FLAIR magnetic resonance.
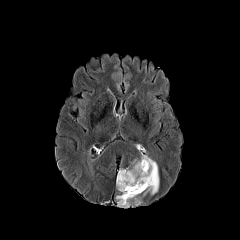
T1-weighted MR.
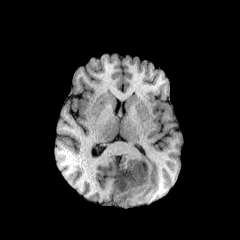
Post-contrast T1-weighted MR image.
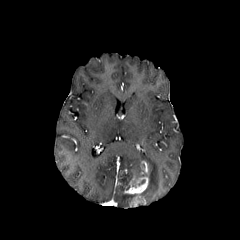
T2-weighted MRI.
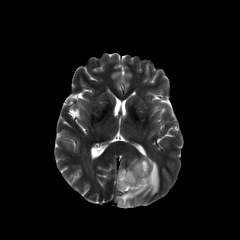
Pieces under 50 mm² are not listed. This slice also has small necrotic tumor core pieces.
The largest enhancing tumor region is at 124,160,149,205. The largest peritumoral edema region is bounded by 116,154,159,207.